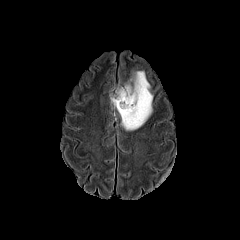
FLAIR MR image.
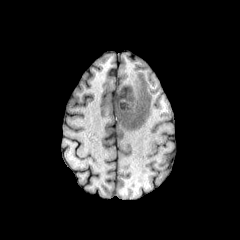
T1-weighted MR of the same slice.
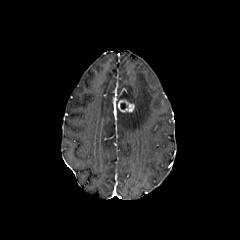
Post-contrast T1-weighted MR image.
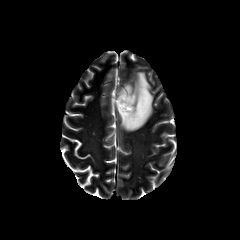
T2-weighted magnetic resonance.
Head, Axial slice, Image size 240x240
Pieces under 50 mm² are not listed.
enhancing tumor — bbox(118, 99, 134, 112)
necrotic tumor core — bbox(116, 90, 125, 107)
peritumoral edema — bbox(118, 71, 153, 130)